FLAIR MR.
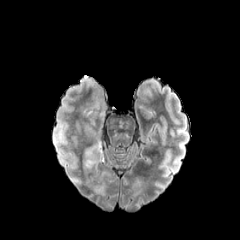
T1-weighted MR.
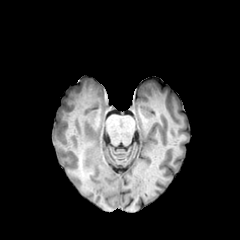
Post-contrast T1-weighted MR image.
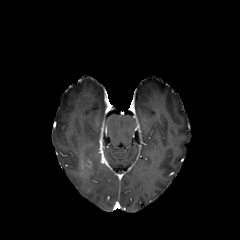
T2-weighted magnetic resonance.
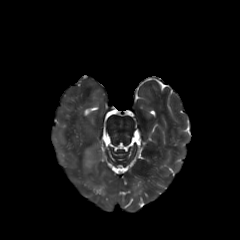
Head | Axial view
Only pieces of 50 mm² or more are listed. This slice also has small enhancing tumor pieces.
peritumoral_edema:
  - <bbox>83, 146, 105, 168</bbox>